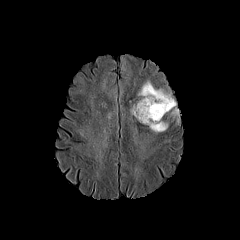
FLAIR MR image.
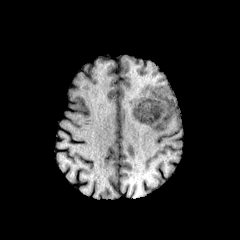
T1-weighted MR.
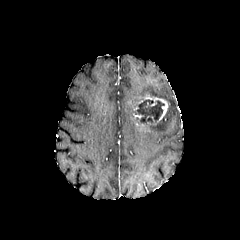
Post-contrast T1-weighted MRI.
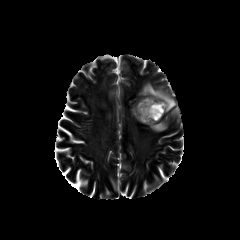
T2-weighted MR.
Axial plane
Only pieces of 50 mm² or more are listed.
<segmentation>
  <peritumoral_edema>(135,117,168,132), (138,81,179,123)</peritumoral_edema>
  <enhancing_tumor>(134,95,169,124)</enhancing_tumor>
  <necrotic_tumor_core>(136,100,164,123)</necrotic_tumor_core>
</segmentation>